Brain. Slice 34 of 155. Image size 240x240.
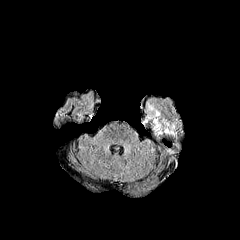
FLAIR MRI.
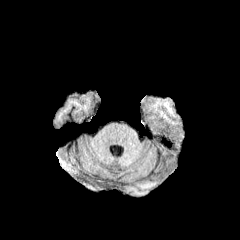
T1-weighted MRI.
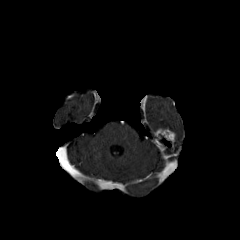
Post-contrast T1-weighted MR of the same slice.
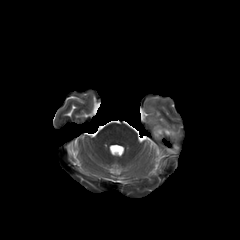
T2-weighted MRI.
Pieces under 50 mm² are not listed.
Annotated regions:
- enhancing tumor: (154,129,175,142)
- peritumoral edema: (152,109,161,130)